Brain, Slice 117 of 155, Axial slice
FLAIR MR.
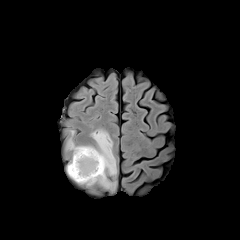
T1-weighted MRI.
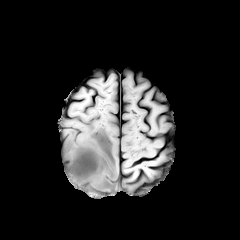
Post-contrast T1-weighted MR image.
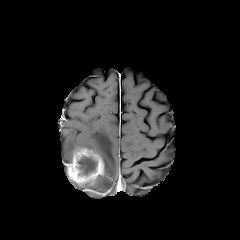
T2-weighted MR.
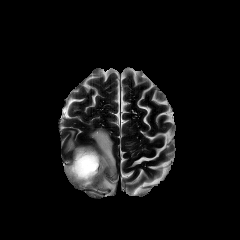
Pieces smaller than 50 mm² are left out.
enhancing_tumor:
  - x1=66 y1=145 x2=104 y2=185
necrotic_tumor_core:
  - x1=77 y1=157 x2=98 y2=176
peritumoral_edema:
  - x1=84 y1=128 x2=116 y2=190
  - x1=67 y1=130 x2=74 y2=150